FLAIR MR.
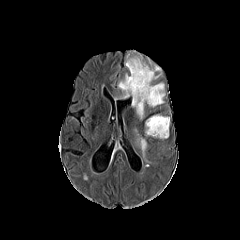
T1-weighted MRI.
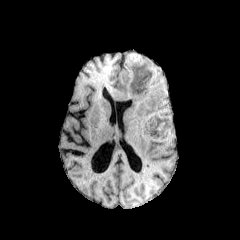
Post-contrast T1-weighted MRI.
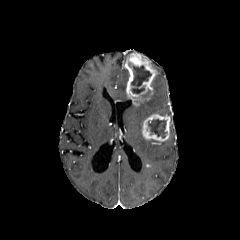
T2-weighted magnetic resonance.
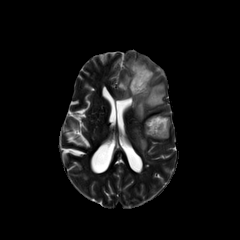
Brain. Axial view.
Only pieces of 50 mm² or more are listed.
peritumoral edema: 151 62 162 83, 138 138 147 154, 116 73 128 98, 132 82 165 119
necrotic tumor core: 147 119 166 137, 128 62 151 86, 131 87 144 93
enhancing tumor: 125 52 157 105, 142 114 170 141